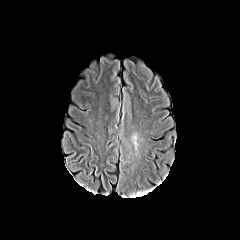
FLAIR MR image.
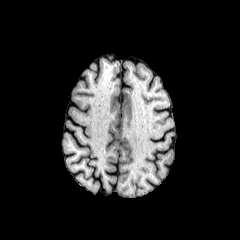
T1-weighted MR image of the same slice.
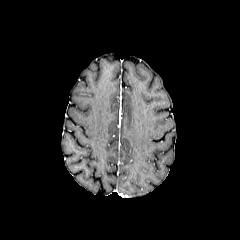
Post-contrast T1-weighted MR.
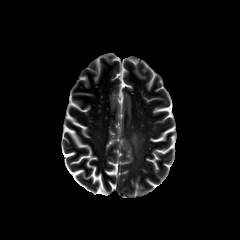
Same slice, T2-weighted MR.
Brain.
The peritumoral edema is located at bbox=[132, 134, 137, 147].